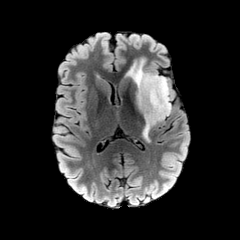
FLAIR MRI.
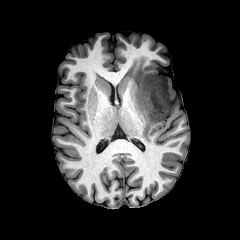
T1-weighted MR.
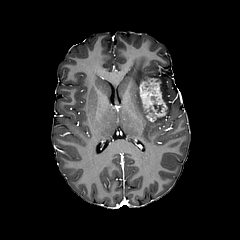
Post-contrast T1-weighted MRI of the same slice.
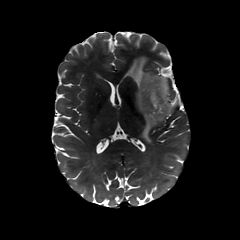
T2-weighted MR image of the same slice.
Axial slice. 240x240.
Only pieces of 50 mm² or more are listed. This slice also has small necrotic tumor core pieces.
peritumoral edema — rect(126, 59, 171, 141)
enhancing tumor — rect(139, 77, 167, 121)